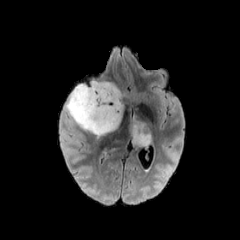
FLAIR MRI.
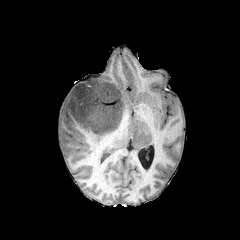
T1-weighted MRI of the same slice.
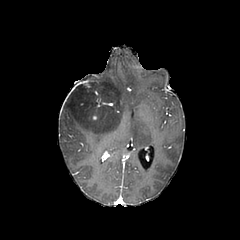
Same slice, post-contrast T1-weighted MR.
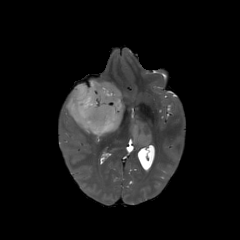
Same slice, T2-weighted MR.
Brain; 240x240 px
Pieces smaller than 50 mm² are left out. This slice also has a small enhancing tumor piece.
peritumoral edema: 126 114 153 148, 66 81 125 136